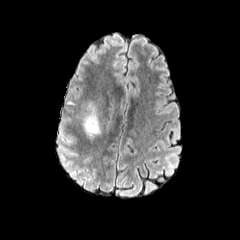
FLAIR MR.
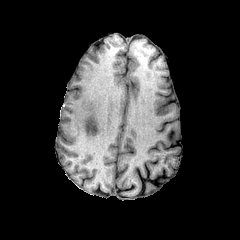
T1-weighted MR image of the same slice.
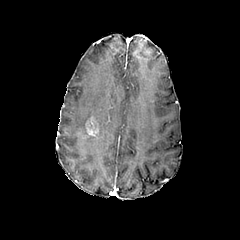
Post-contrast T1-weighted MRI of the same slice.
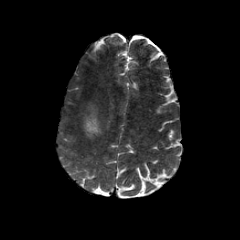
T2-weighted MR image.
Brain
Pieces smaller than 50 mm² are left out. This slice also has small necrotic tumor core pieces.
enhancing tumor at [84, 114, 98, 136]
peritumoral edema at [83, 101, 100, 139]